Axial plane | Head
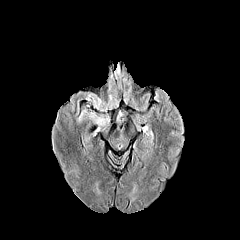
FLAIR MRI.
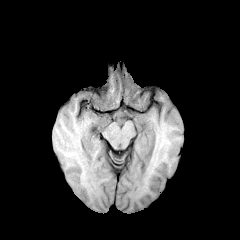
Same slice, T1-weighted magnetic resonance.
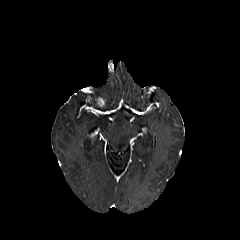
Post-contrast T1-weighted MRI.
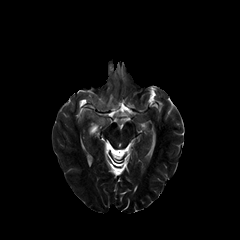
Same slice, T2-weighted MRI.
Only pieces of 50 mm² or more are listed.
Segmented structures:
- enhancing tumor: bbox=[96, 97, 105, 107]
- peritumoral edema: bbox=[93, 95, 112, 109]; bbox=[79, 111, 107, 126]